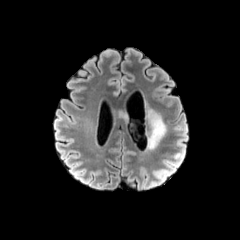
FLAIR MR.
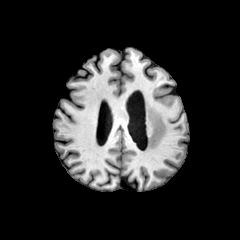
T1-weighted MRI.
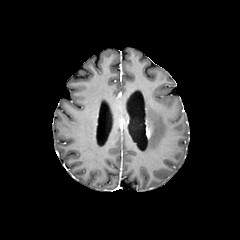
Post-contrast T1-weighted MRI.
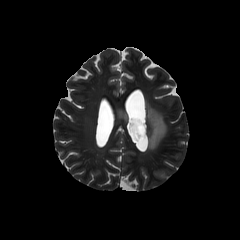
T2-weighted MR image.
Axial view, Head
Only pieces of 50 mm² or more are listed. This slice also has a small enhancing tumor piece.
peritumoral edema = 118, 110, 128, 123; 146, 108, 166, 149